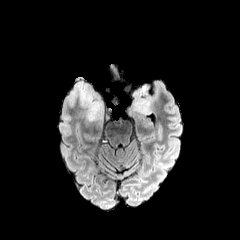
FLAIR MR.
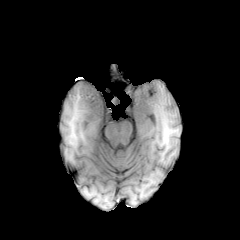
T1-weighted magnetic resonance.
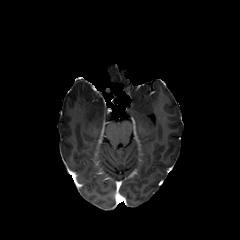
Post-contrast T1-weighted MRI of the same slice.
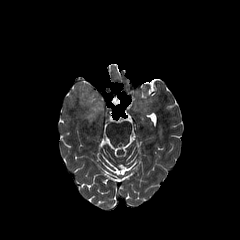
T2-weighted MRI.
Brain
peritumoral edema: bounding box (x1=132, y1=84, x2=152, y2=112), (x1=75, y1=82, x2=104, y2=120)